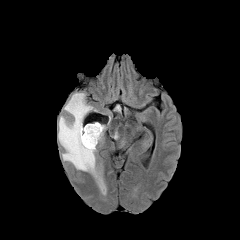
FLAIR MR.
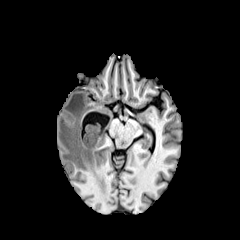
T1-weighted MRI.
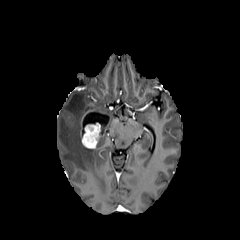
Same slice, post-contrast T1-weighted MRI.
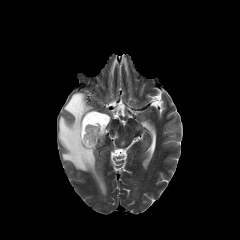
Same slice, T2-weighted MR image.
Axial slice
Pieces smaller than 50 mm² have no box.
The largest enhancing tumor region is bounded by (left=80, top=122, right=101, bottom=148). The largest peritumoral edema region lies within (left=58, top=93, right=105, bottom=188).